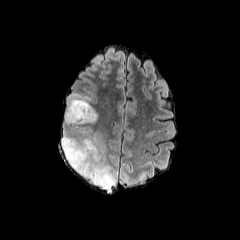
FLAIR MR.
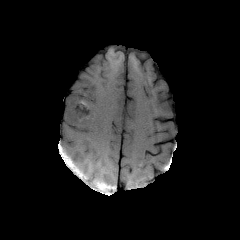
T1-weighted MR.
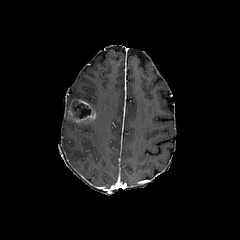
Post-contrast T1-weighted MR image.
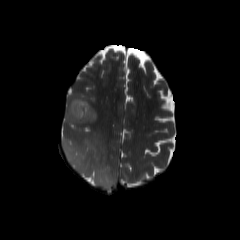
T2-weighted MRI.
{
  "peritumoral_edema": [
    {"x1": 61, "y1": 136, "x2": 116, "y2": 190},
    {"x1": 65, "y1": 94, "x2": 99, "y2": 124}
  ],
  "enhancing_tumor": [
    {"x1": 68, "y1": 99, "x2": 96, "y2": 123}
  ],
  "necrotic_tumor_core": [
    {"x1": 71, "y1": 101, "x2": 91, "y2": 118}
  ]
}